Slice index 110. Brain. Image covers 240 mm x 240 mm. 240x240 px.
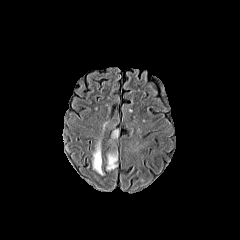
FLAIR magnetic resonance.
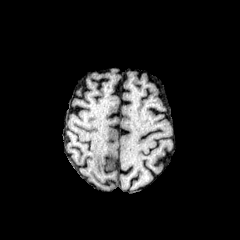
T1-weighted MR image.
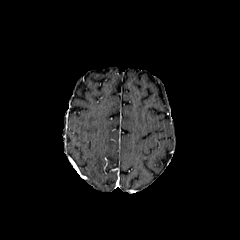
Same slice, post-contrast T1-weighted MRI.
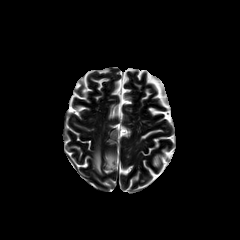
T2-weighted MR image.
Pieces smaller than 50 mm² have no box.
The 2 largest peritumoral edema regions appear at box=[107, 153, 117, 169]; box=[93, 141, 102, 174].